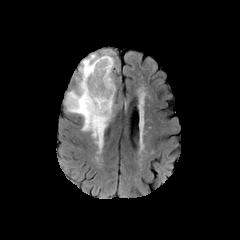
FLAIR MRI.
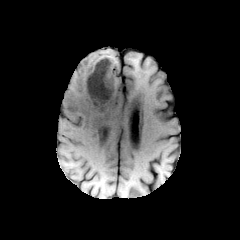
T1-weighted MR image of the same slice.
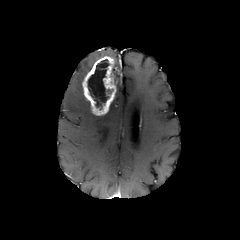
Same slice, post-contrast T1-weighted MR.
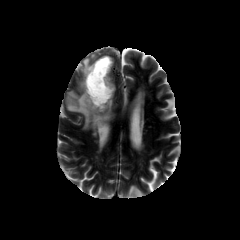
T2-weighted magnetic resonance of the same slice.
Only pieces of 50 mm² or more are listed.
necrotic_tumor_core:
  - <box>88,59,108,106</box>
peritumoral_edema:
  - <box>64,49,115,152</box>
enhancing_tumor:
  - <box>82,56,116,115</box>